FLAIR MR.
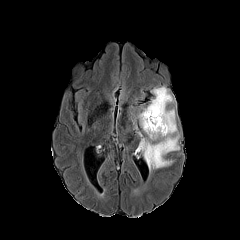
T1-weighted MR image.
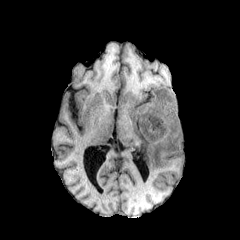
Post-contrast T1-weighted magnetic resonance.
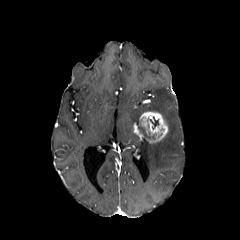
T2-weighted MRI.
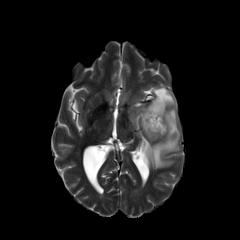
- enhancing tumor: rect(140, 111, 168, 142)
- necrotic tumor core: rect(149, 117, 158, 129)
- peritumoral edema: rect(132, 86, 180, 170)